FLAIR MR.
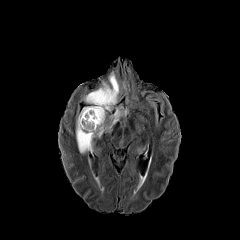
T1-weighted MR image.
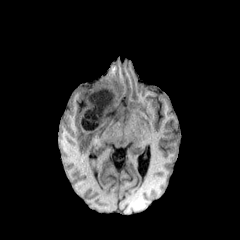
Post-contrast T1-weighted MR.
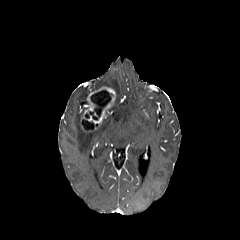
T2-weighted magnetic resonance.
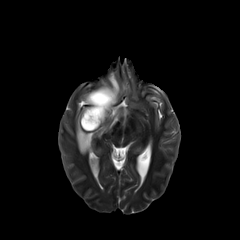
Head
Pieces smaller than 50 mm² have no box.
Annotated regions:
• enhancing tumor: <bbox>80, 86, 116, 125</bbox>
• necrotic tumor core: <bbox>81, 119, 98, 130</bbox>, <bbox>85, 90, 112, 120</bbox>
• peritumoral edema: <bbox>76, 107, 127, 153</bbox>, <bbox>101, 72, 119, 104</bbox>